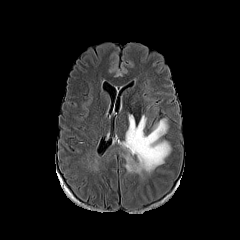
FLAIR magnetic resonance.
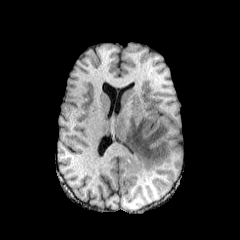
Same slice, T1-weighted MRI.
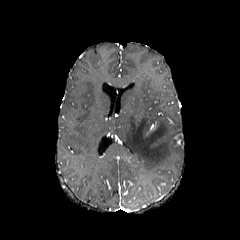
Post-contrast T1-weighted MR.
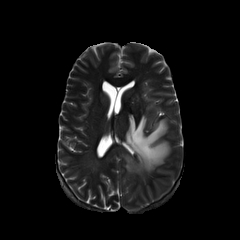
T2-weighted magnetic resonance.
Head. 240x240 px. Axial slice.
{
  "peritumoral_edema": [
    "<bbox>123, 115, 170, 174</bbox>"
  ]
}